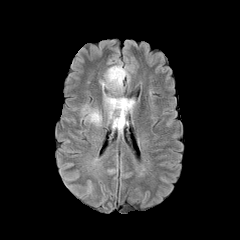
FLAIR MR image.
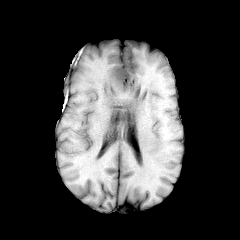
T1-weighted MR.
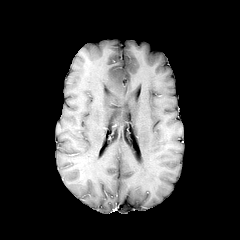
Same slice, post-contrast T1-weighted MRI.
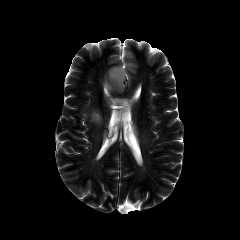
Same slice, T2-weighted MR.
Axial view, Head
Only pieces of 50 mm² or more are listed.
{"peritumoral_edema": ["left=101, top=65, right=129, bottom=92", "left=88, top=109, right=101, bottom=125", "left=104, top=93, right=135, bottom=132"]}